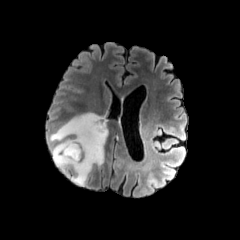
FLAIR MR image.
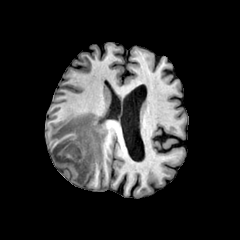
T1-weighted MR.
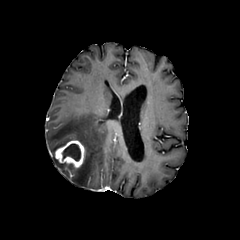
Post-contrast T1-weighted MR image of the same slice.
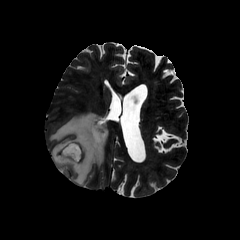
T2-weighted magnetic resonance.
Image size 240x240, Axial plane
Findings:
* peritumoral edema: box(49, 113, 108, 185)
* enhancing tumor: box(55, 140, 85, 169)
* necrotic tumor core: box(62, 144, 80, 160)